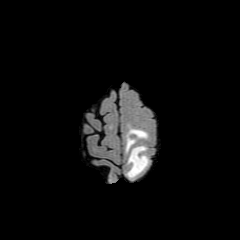
FLAIR MRI.
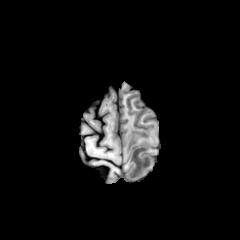
T1-weighted MR image.
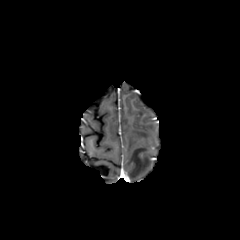
Post-contrast T1-weighted magnetic resonance of the same slice.
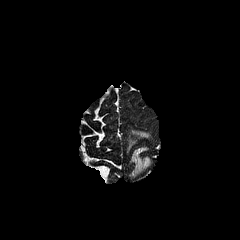
Same slice, T2-weighted MR image.
Image size 240x240; Axial slice; Head
<segmentation>
  <peritumoral_edema>l=128, t=146, r=149, b=176; l=129, t=129, r=147, b=137; l=126, t=137, r=135, b=151</peritumoral_edema>
</segmentation>